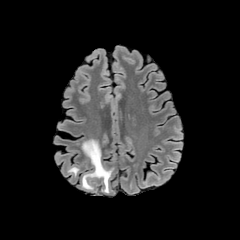
FLAIR MRI.
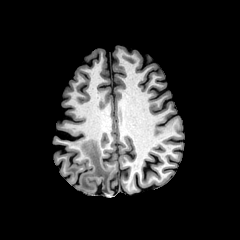
Same slice, T1-weighted MR.
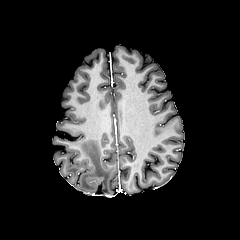
Post-contrast T1-weighted magnetic resonance of the same slice.
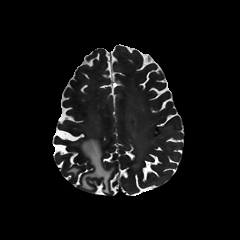
T2-weighted MR.
Brain | Image size 240x240
{
  "peritumoral_edema": [
    "[79,139,113,191]",
    "[67,166,78,175]"
  ]
}